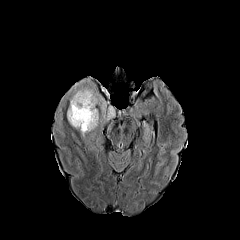
FLAIR magnetic resonance.
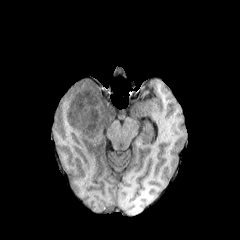
T1-weighted magnetic resonance of the same slice.
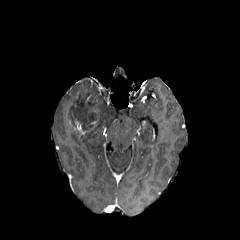
Post-contrast T1-weighted magnetic resonance.
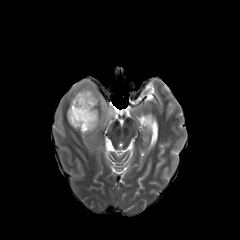
T2-weighted MRI of the same slice.
Brain
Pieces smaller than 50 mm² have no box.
peritumoral edema = [x1=67, y1=79, x2=114, y2=125]
enhancing tumor = [x1=73, y1=120, x2=93, y2=135]
necrotic tumor core = [x1=69, y1=94, x2=97, y2=131]